Axial plane; Slice 52 of 155; 240x240; Image width 240 mm
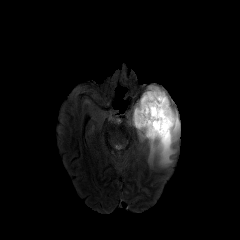
FLAIR MR image.
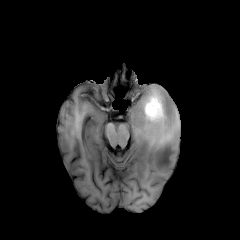
T1-weighted MRI of the same slice.
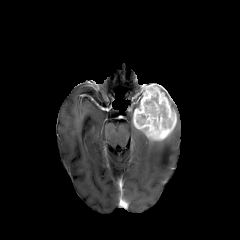
Post-contrast T1-weighted MR image.
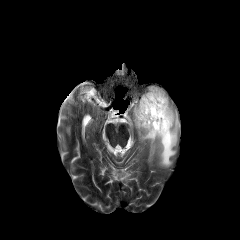
Same slice, T2-weighted MR.
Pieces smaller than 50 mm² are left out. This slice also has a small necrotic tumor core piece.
• enhancing tumor: left=132, top=84, right=176, bottom=140
• peritumoral edema: left=136, top=88, right=180, bottom=167